Head
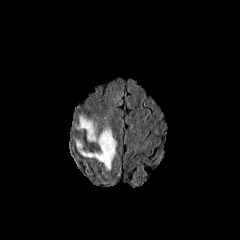
FLAIR magnetic resonance.
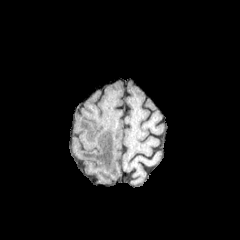
T1-weighted MRI.
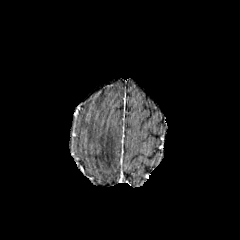
Post-contrast T1-weighted MRI of the same slice.
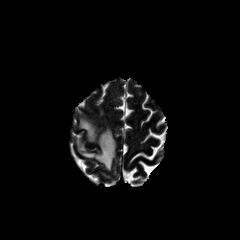
T2-weighted MR image of the same slice.
Segmented structures:
• peritumoral edema: <bbox>75, 114, 117, 170</bbox>